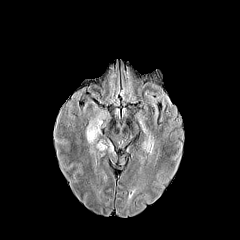
FLAIR MR image.
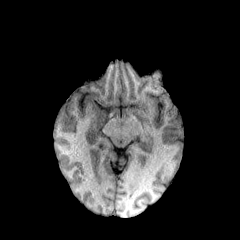
T1-weighted MR image.
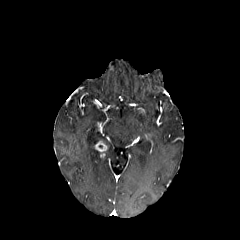
Post-contrast T1-weighted MRI.
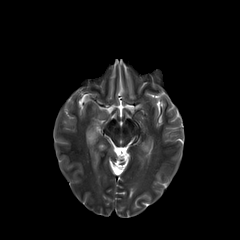
T2-weighted MRI.
Axial plane; Brain; 240x240
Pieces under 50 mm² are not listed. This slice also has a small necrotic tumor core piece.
The largest enhancing tumor region is located at 95,141,107,152. The largest peritumoral edema region is at 86,116,104,147.